Axial plane
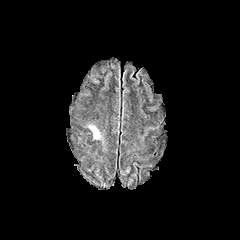
FLAIR MR image.
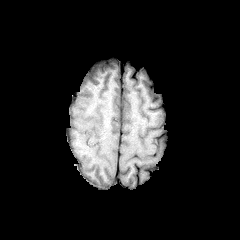
T1-weighted MR.
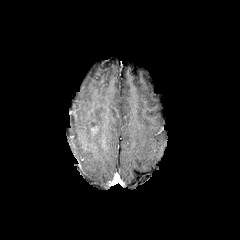
Same slice, post-contrast T1-weighted magnetic resonance.
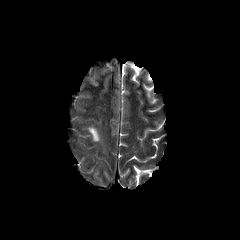
T2-weighted MR image of the same slice.
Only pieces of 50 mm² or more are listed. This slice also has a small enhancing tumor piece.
peritumoral edema: bounding box <bbox>89, 126, 100, 139</bbox>